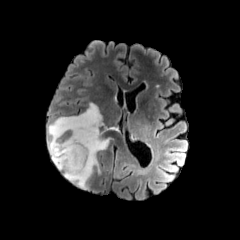
FLAIR MR image.
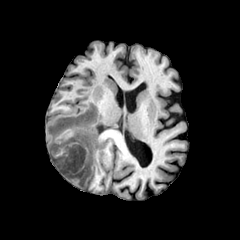
T1-weighted magnetic resonance of the same slice.
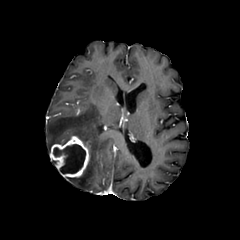
Post-contrast T1-weighted MR of the same slice.
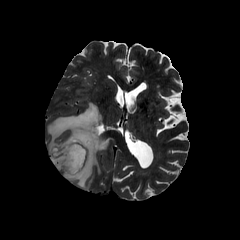
T2-weighted magnetic resonance.
Brain. Axial view. 240x240.
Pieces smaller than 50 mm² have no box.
enhancing tumor: bounding box <box>50,136,90,177</box>
necrotic tumor core: bounding box <box>53,144,85,173</box>
peritumoral edema: bounding box <box>48,103,109,188</box>